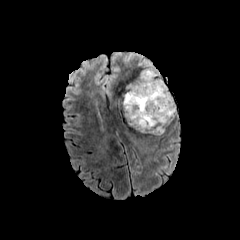
FLAIR MRI.
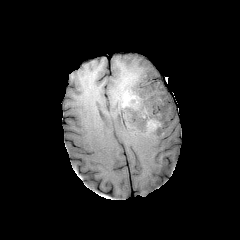
T1-weighted MRI.
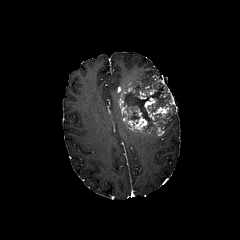
Post-contrast T1-weighted magnetic resonance of the same slice.
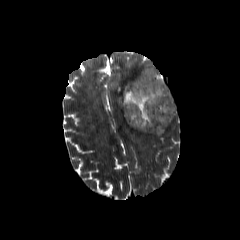
Same slice, T2-weighted MR.
Head
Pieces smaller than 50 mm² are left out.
necrotic tumor core: bounding box box(123, 82, 175, 126)
enhancing tumor: bounding box box(138, 86, 157, 98); box(144, 97, 171, 120); box(152, 79, 174, 104); box(118, 75, 165, 135)
peritumoral edema: bounding box box(139, 61, 158, 77)